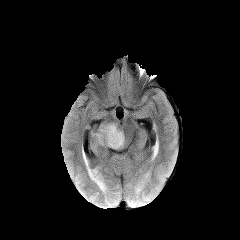
FLAIR magnetic resonance.
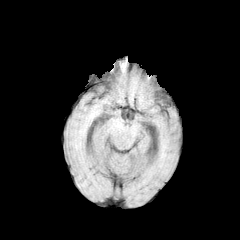
T1-weighted MR image.
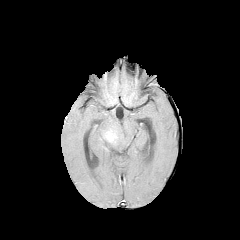
Post-contrast T1-weighted MR.
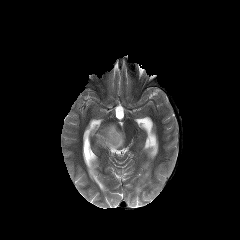
Same slice, T2-weighted MR.
Axial plane. Brain.
Segmented structures:
* peritumoral edema: (left=94, top=123, right=124, bottom=149)
* enhancing tumor: (left=104, top=130, right=117, bottom=142)